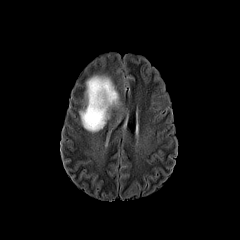
FLAIR MR image.
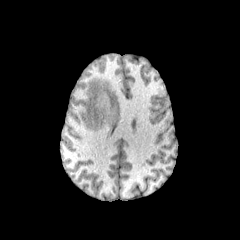
T1-weighted MR image of the same slice.
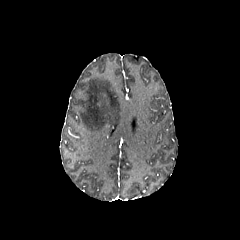
Post-contrast T1-weighted MR.
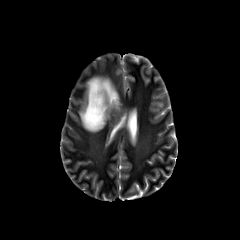
T2-weighted MR.
Image size 240x240, Head, Axial view
peritumoral edema: bounding box l=78, t=74, r=118, b=132